FLAIR magnetic resonance.
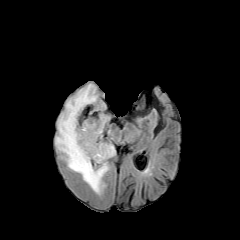
T1-weighted MR image.
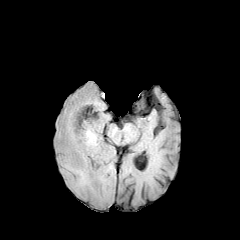
Post-contrast T1-weighted magnetic resonance.
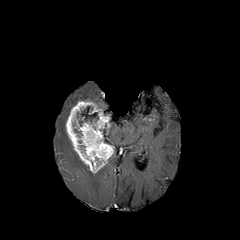
T2-weighted MRI.
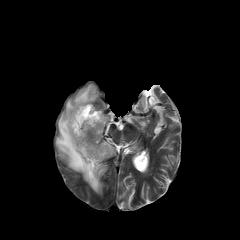
Head.
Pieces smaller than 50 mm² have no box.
necrotic tumor core = (left=77, top=106, right=98, bottom=126)
enhancing tumor = (left=65, top=100, right=114, bottom=173)
peritumoral edema = (left=55, top=83, right=108, bottom=194)